Slice 59/155
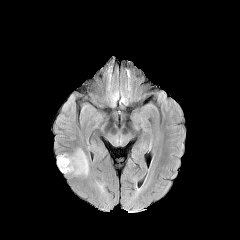
FLAIR MRI.
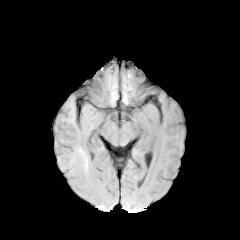
T1-weighted MR.
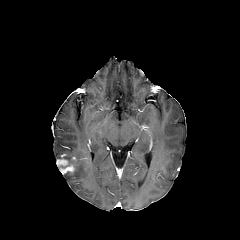
Post-contrast T1-weighted MR.
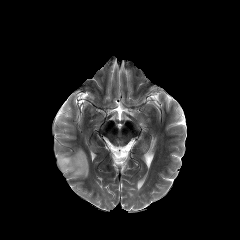
T2-weighted MR.
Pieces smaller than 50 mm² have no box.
- enhancing tumor: x1=56, y1=159, x2=74, y2=173
- peritumoral edema: x1=57, y1=148, x2=88, y2=177